FLAIR MRI.
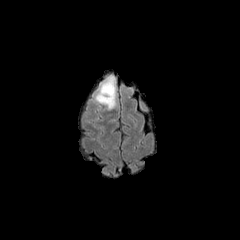
T1-weighted MRI.
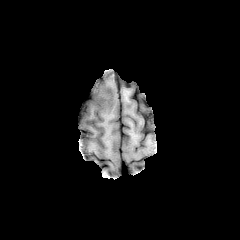
Post-contrast T1-weighted MRI.
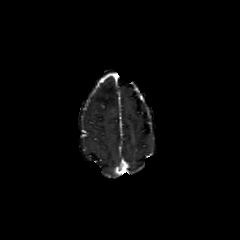
T2-weighted magnetic resonance.
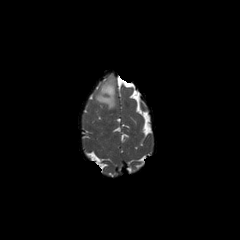
Image size 240x240
peritumoral edema: l=95, t=76, r=115, b=109